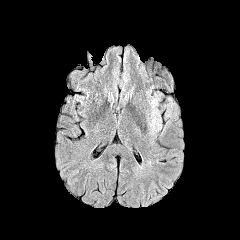
FLAIR magnetic resonance.
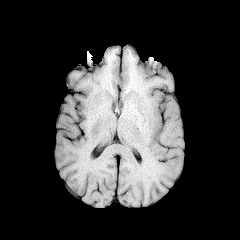
T1-weighted MRI of the same slice.
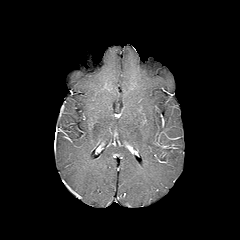
Post-contrast T1-weighted MR image.
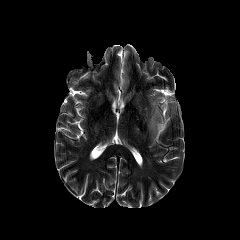
T2-weighted magnetic resonance.
Axial view, Image size 240x240
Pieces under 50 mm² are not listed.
peritumoral edema: l=149, t=98, r=161, b=133